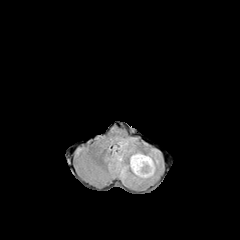
FLAIR magnetic resonance.
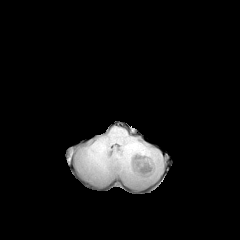
Same slice, T1-weighted magnetic resonance.
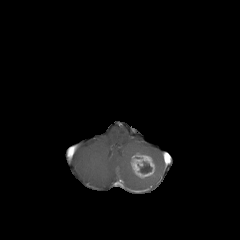
Post-contrast T1-weighted magnetic resonance.
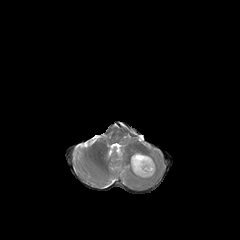
T2-weighted MR.
Axial slice | Head
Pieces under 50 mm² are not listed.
necrotic tumor core — x1=140 y1=164 x2=151 y2=172
peritumoral edema — x1=111 y1=140 x2=160 y2=183
enhancing tumor — x1=130 y1=153 x2=155 y2=178